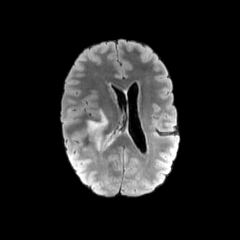
FLAIR MR image.
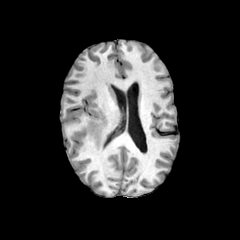
T1-weighted MR image.
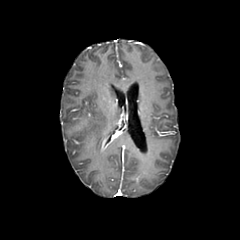
Post-contrast T1-weighted MRI.
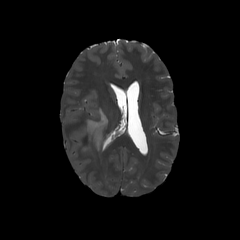
T2-weighted MR.
Image size 240x240
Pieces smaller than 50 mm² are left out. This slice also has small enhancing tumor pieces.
Findings:
* peritumoral edema: left=88, top=111, right=107, bottom=149